Image size 240x240; Slice index 96
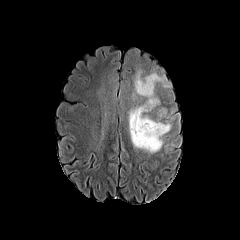
FLAIR MR.
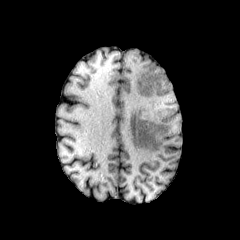
T1-weighted magnetic resonance.
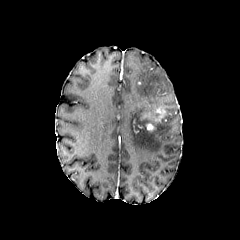
Post-contrast T1-weighted MR.
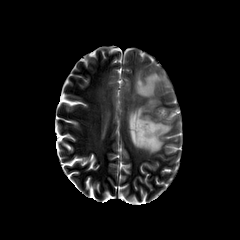
T2-weighted magnetic resonance.
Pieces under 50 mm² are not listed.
peritumoral edema = region(128, 70, 171, 153)
enhancing tumor = region(146, 123, 155, 131); region(155, 109, 165, 121)